FLAIR MR.
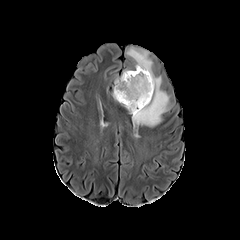
T1-weighted MRI.
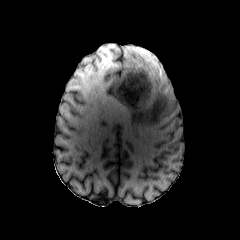
Post-contrast T1-weighted MR.
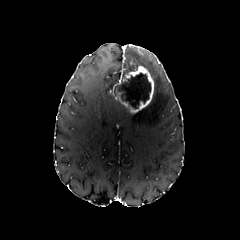
T2-weighted magnetic resonance.
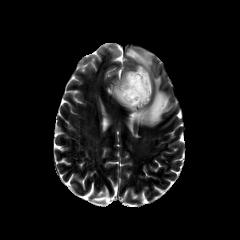
Brain
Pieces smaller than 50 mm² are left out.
enhancing_tumor:
  - <bbox>113, 66, 153, 113</bbox>
necrotic_tumor_core:
  - <bbox>115, 72, 151, 108</bbox>
peritumoral_edema:
  - <bbox>129, 51, 169, 127</bbox>